Image covers 240 mm x 240 mm | Brain | Slice 73 of 155
FLAIR MR.
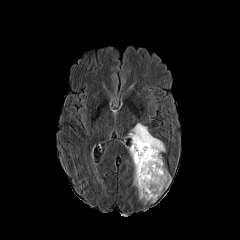
T1-weighted MR.
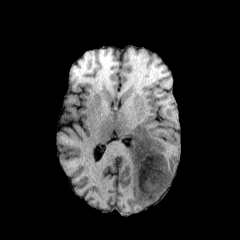
Post-contrast T1-weighted MR.
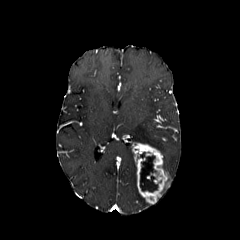
T2-weighted MR image.
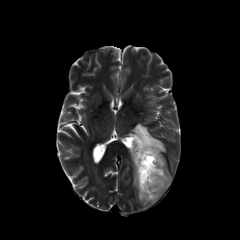
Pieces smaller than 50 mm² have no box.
peritumoral edema: bbox(129, 123, 165, 152); bbox(130, 154, 136, 187) | enhancing tumor: bbox(132, 142, 171, 203) | necrotic tumor core: bbox(140, 156, 157, 191)